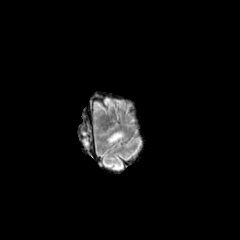
FLAIR MR image.
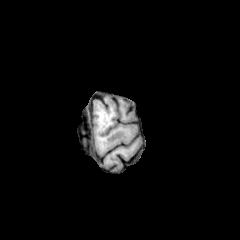
T1-weighted MR.
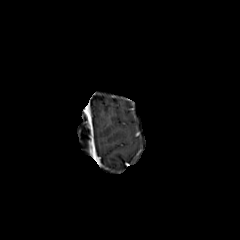
Post-contrast T1-weighted MR.
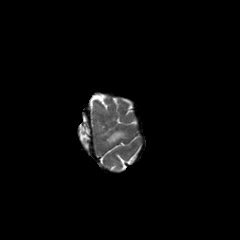
T2-weighted MRI.
Image size 240x240
peritumoral edema = [108,131,125,143]